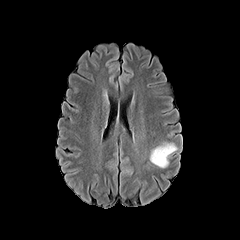
FLAIR MRI.
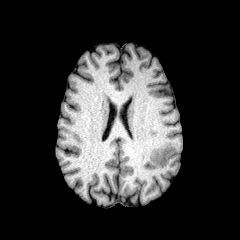
Same slice, T1-weighted MR image.
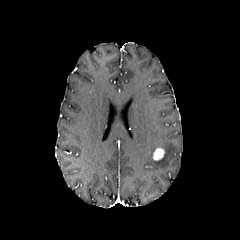
Post-contrast T1-weighted MR of the same slice.
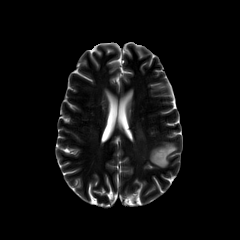
T2-weighted MR image.
240x240 | Head
<segmentation>
  <peritumoral_edema>(150, 142, 177, 168)</peritumoral_edema>
  <enhancing_tumor>(153, 148, 164, 160)</enhancing_tumor>
</segmentation>